Axial view
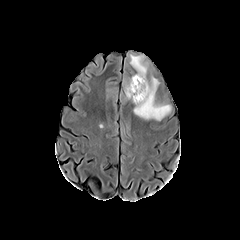
FLAIR magnetic resonance.
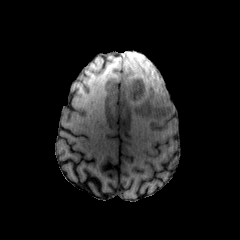
T1-weighted MRI of the same slice.
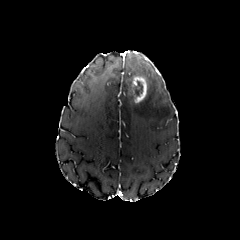
Same slice, post-contrast T1-weighted MR image.
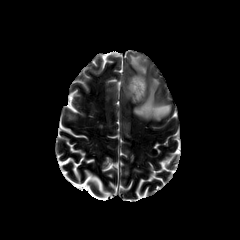
T2-weighted MRI.
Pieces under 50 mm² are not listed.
The 3 largest peritumoral edema regions appear at bbox(126, 82, 131, 97); bbox(133, 79, 170, 120); bbox(133, 59, 145, 74). The necrotic tumor core appears at bbox(134, 81, 142, 95). The largest enhancing tumor region lies within bbox(130, 76, 146, 102).